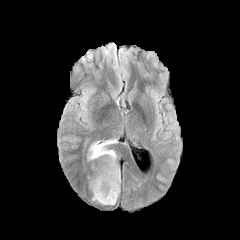
FLAIR MRI.
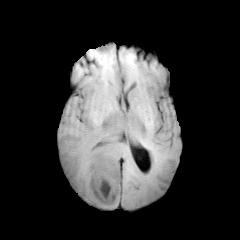
T1-weighted MRI of the same slice.
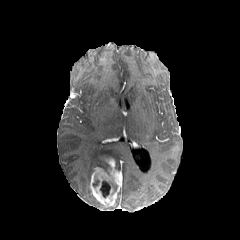
Post-contrast T1-weighted MR of the same slice.
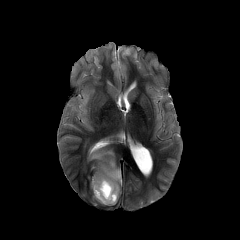
Same slice, T2-weighted magnetic resonance.
Axial plane
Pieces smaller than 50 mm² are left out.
peritumoral edema = x1=88 y1=140 x2=116 y2=159, x1=99 y1=163 x2=110 y2=174
necrotic tumor core = x1=100 y1=180 x2=110 y2=197
enhancing tumor = x1=90 y1=158 x2=121 y2=206